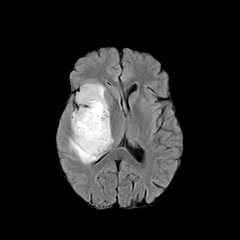
FLAIR MR image.
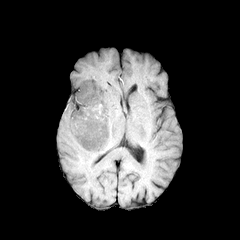
Same slice, T1-weighted MR.
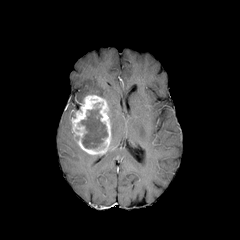
Post-contrast T1-weighted MR image of the same slice.
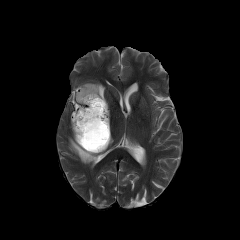
Same slice, T2-weighted magnetic resonance.
Axial view. Brain.
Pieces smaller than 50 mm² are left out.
peritumoral edema at 69:133:98:164, 76:82:105:103
necrotic tumor core at 80:108:107:148
enhancing tumor at 68:94:111:154